Slice index 64 | 240x240 px | Axial plane
FLAIR magnetic resonance.
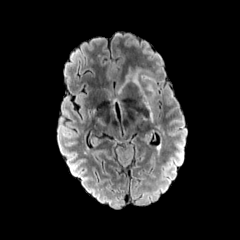
T1-weighted magnetic resonance.
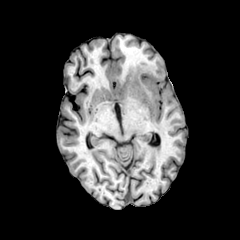
Post-contrast T1-weighted magnetic resonance.
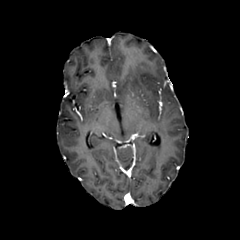
T2-weighted MR.
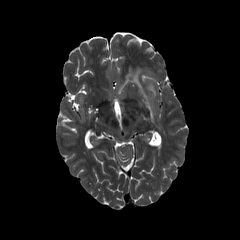
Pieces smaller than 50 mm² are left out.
peritumoral edema — [x1=121, y1=66, x2=155, y2=120]